FLAIR MR.
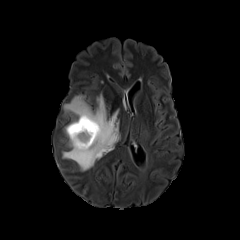
T1-weighted MR.
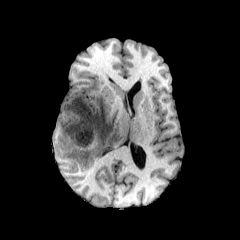
Post-contrast T1-weighted MR.
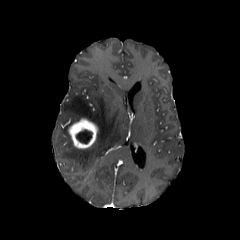
T2-weighted magnetic resonance.
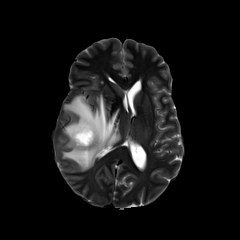
Image size 240x240
The peritumoral edema is located at (62, 94, 120, 171). The enhancing tumor appears at (68, 118, 98, 148). The necrotic tumor core is located at (76, 130, 92, 143).